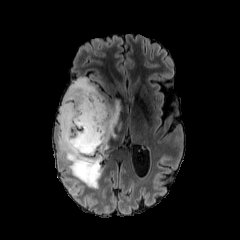
FLAIR MRI.
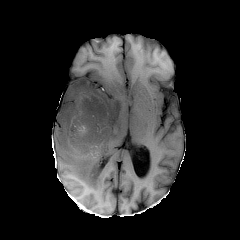
T1-weighted magnetic resonance of the same slice.
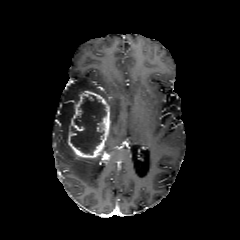
Post-contrast T1-weighted MR image.
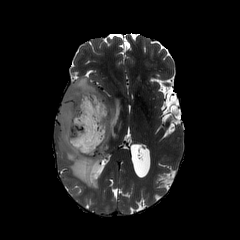
T2-weighted magnetic resonance.
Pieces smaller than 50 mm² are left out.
necrotic tumor core: box=[71, 95, 105, 154] | enhancing tumor: box=[67, 90, 112, 163] | peritumoral edema: box=[108, 100, 121, 140]; box=[56, 78, 104, 188]